Image width 240 mm, 1.00 mm slice spacing. Image size 240x240. Head.
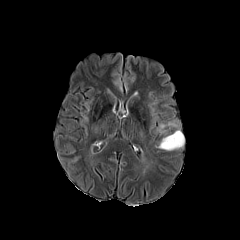
FLAIR MR.
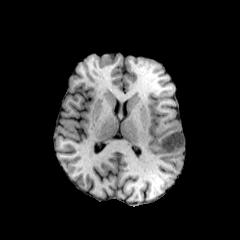
T1-weighted MR.
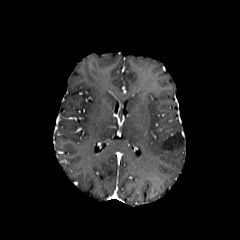
Post-contrast T1-weighted magnetic resonance.
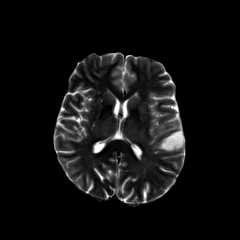
T2-weighted magnetic resonance.
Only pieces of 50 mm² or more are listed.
peritumoral_edema:
  - x1=157, y1=120, x2=184, y2=150